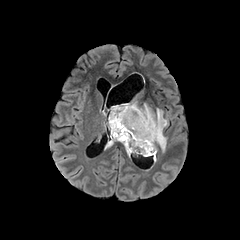
FLAIR magnetic resonance.
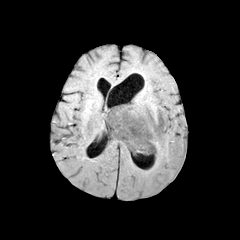
T1-weighted MRI of the same slice.
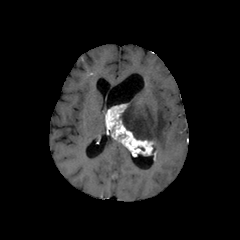
Same slice, post-contrast T1-weighted MRI.
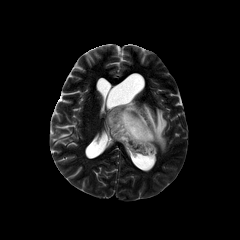
T2-weighted MRI of the same slice.
Image size 240x240. Brain.
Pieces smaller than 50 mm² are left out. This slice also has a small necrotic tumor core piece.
The enhancing tumor lies within region(105, 104, 156, 159). The 2 largest peritumoral edema regions are bounded by region(120, 100, 168, 153); region(105, 134, 115, 149).